Slice 112/155. Brain. 240x240. Image width 240 mm, 1.00 mm slice spacing. Axial plane.
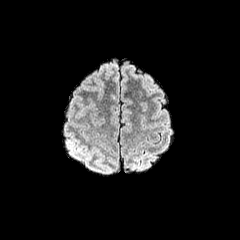
FLAIR magnetic resonance.
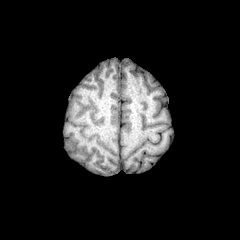
T1-weighted MR image.
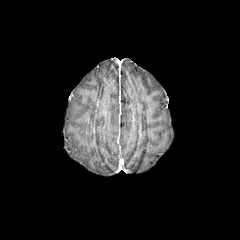
Same slice, post-contrast T1-weighted MRI.
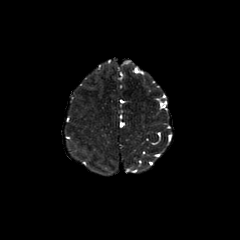
T2-weighted MR of the same slice.
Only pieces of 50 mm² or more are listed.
peritumoral edema: bounding box <box>94,67,103,84</box>